Axial view. Slice index 117. Image covers 240 mm x 240 mm.
FLAIR MR.
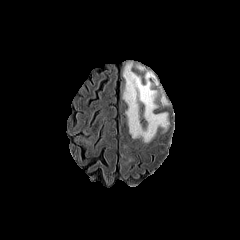
T1-weighted MR image.
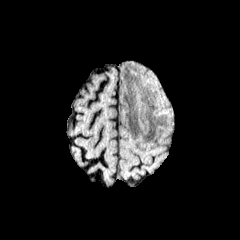
Post-contrast T1-weighted MRI.
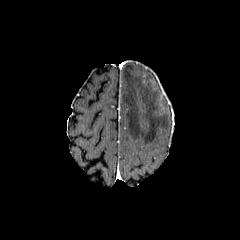
T2-weighted MR.
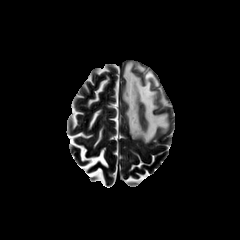
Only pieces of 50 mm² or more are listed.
Annotated regions:
- peritumoral edema: region(123, 62, 169, 142)